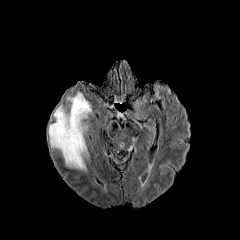
FLAIR MR.
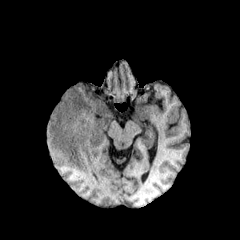
Same slice, T1-weighted MRI.
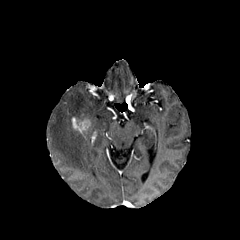
Post-contrast T1-weighted MR.
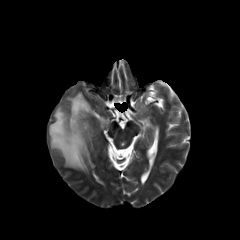
T2-weighted MRI.
Brain. Axial view.
peritumoral edema = <bbox>49, 92, 91, 170</bbox>
enhancing tumor = <bbox>71, 117, 90, 133</bbox>